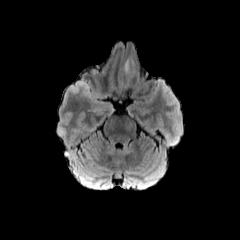
FLAIR MRI.
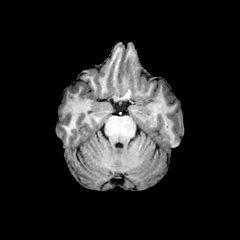
T1-weighted MRI of the same slice.
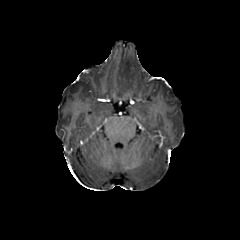
Post-contrast T1-weighted magnetic resonance.
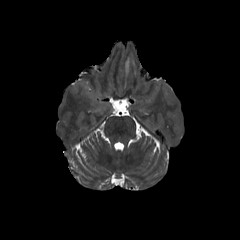
Same slice, T2-weighted MRI.
Head; Axial plane
The peritumoral edema is located at rect(125, 59, 133, 73).